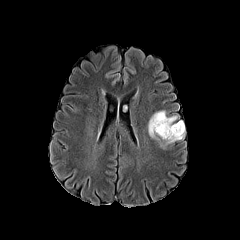
FLAIR magnetic resonance.
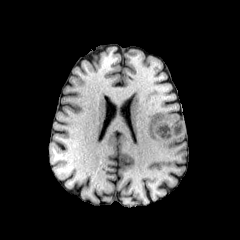
Same slice, T1-weighted MRI.
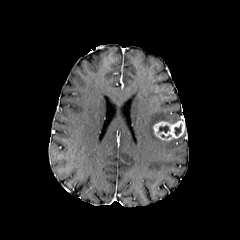
Post-contrast T1-weighted magnetic resonance.
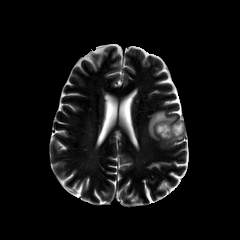
Same slice, T2-weighted magnetic resonance.
Axial slice
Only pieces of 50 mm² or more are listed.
enhancing_tumor:
  - [153, 121, 185, 141]
peritumoral_edema:
  - [148, 111, 184, 148]
necrotic_tumor_core:
  - [174, 124, 181, 135]
  - [159, 126, 169, 132]